Axial view. Head.
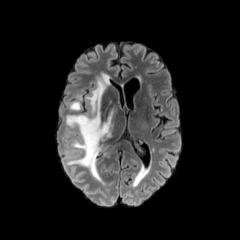
FLAIR MR image.
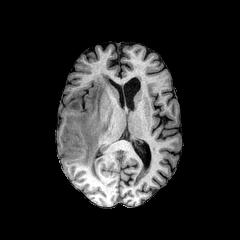
T1-weighted MRI of the same slice.
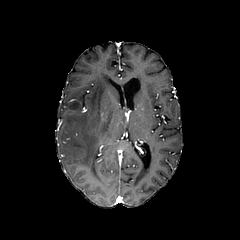
Post-contrast T1-weighted MR.
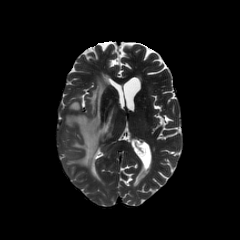
T2-weighted magnetic resonance.
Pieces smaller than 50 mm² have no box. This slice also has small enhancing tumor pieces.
{
  "peritumoral_edema": [
    "69:100:80:111",
    "66:75:117:180"
  ]
}